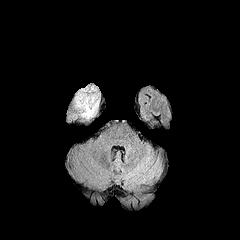
FLAIR MR image.
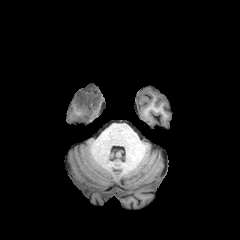
T1-weighted MR.
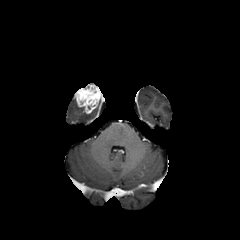
Same slice, post-contrast T1-weighted MRI.
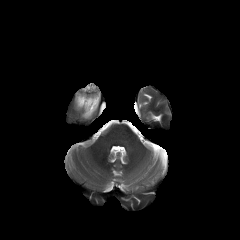
T2-weighted MR image of the same slice.
240x240 px
peritumoral edema: bounding box left=74, top=100, right=97, bottom=119
enhancing tumor: bounding box left=74, top=84, right=102, bottom=113